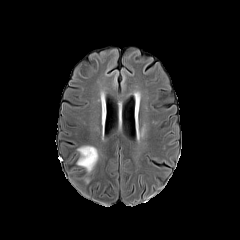
FLAIR magnetic resonance.
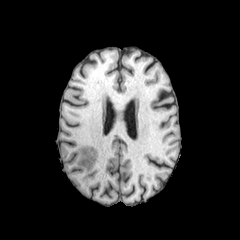
T1-weighted MR.
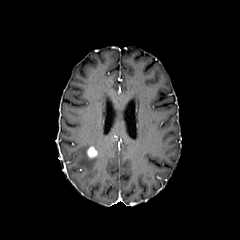
Post-contrast T1-weighted MR.
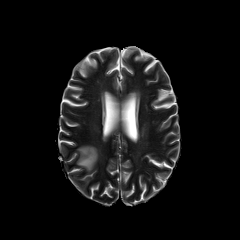
T2-weighted MR image.
Brain | Axial slice
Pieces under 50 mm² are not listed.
The largest peritumoral edema region lies within x1=77, y1=145, x2=98, y2=173. The enhancing tumor is bounded by x1=87, y1=147, x2=97, y2=158.